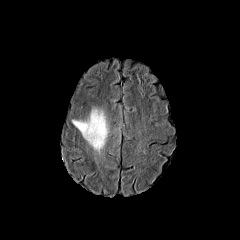
FLAIR magnetic resonance.
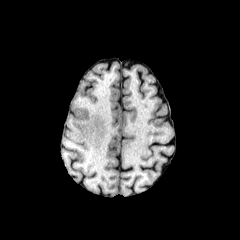
Same slice, T1-weighted MRI.
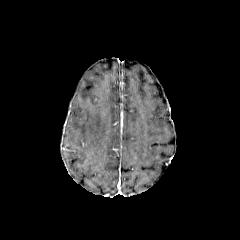
Post-contrast T1-weighted MR image.
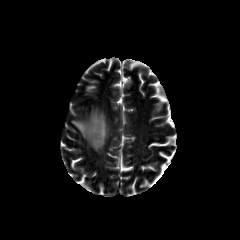
T2-weighted magnetic resonance.
Image size 240x240. Axial view.
{"peritumoral_edema": ["72,108,108,151"]}